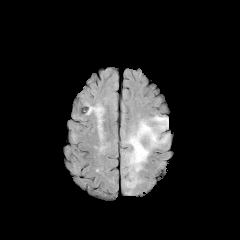
FLAIR MR image.
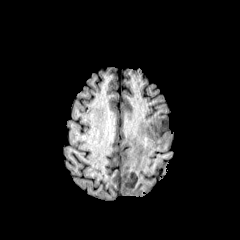
Same slice, T1-weighted MRI.
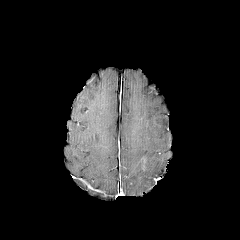
Same slice, post-contrast T1-weighted MR.
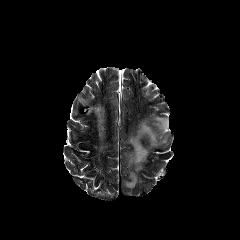
T2-weighted MR image of the same slice.
Axial view, Brain
peritumoral_edema:
  - [124,115,169,188]